FLAIR MR.
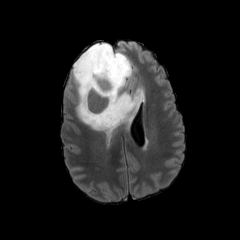
T1-weighted MR image.
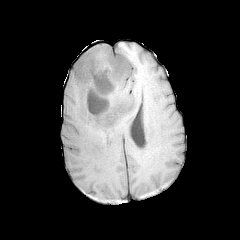
Post-contrast T1-weighted MR image.
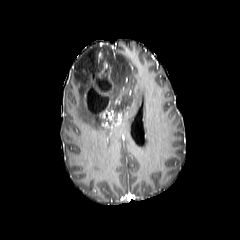
T2-weighted MR.
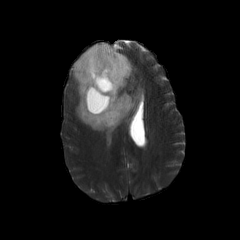
Head.
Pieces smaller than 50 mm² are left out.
Segmented structures:
- peritumoral edema: <bbox>72, 43, 142, 136</bbox>
- enhancing tumor: <bbox>85, 62, 122, 127</bbox>
- necrotic tumor core: <bbox>96, 79, 111, 90</bbox>, <bbox>87, 88, 108, 113</bbox>